Image size 240x240
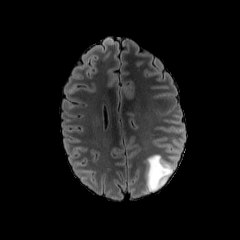
FLAIR MRI.
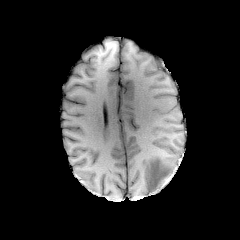
T1-weighted magnetic resonance of the same slice.
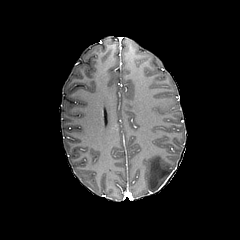
Same slice, post-contrast T1-weighted MRI.
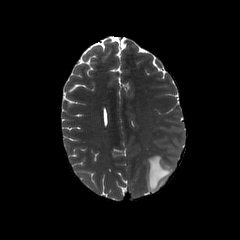
Same slice, T2-weighted MR image.
The peritumoral edema is bounded by (145, 154, 174, 191).